Axial view; Brain; Slice 62 of 155; Image covers 240 mm x 240 mm
FLAIR magnetic resonance.
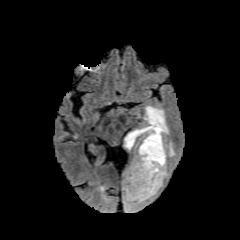
T1-weighted MR.
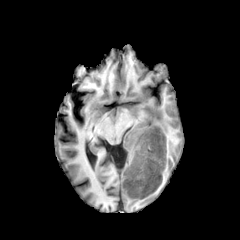
Post-contrast T1-weighted MR.
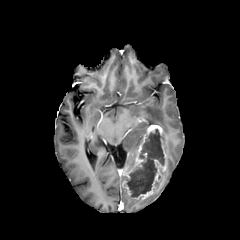
T2-weighted MR.
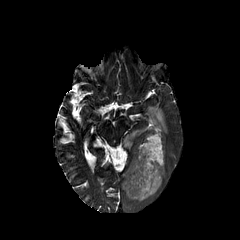
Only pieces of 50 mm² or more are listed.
necrotic tumor core: box=[126, 129, 164, 196] | peritumoral edema: box=[165, 143, 174, 156]; box=[123, 185, 161, 212]; box=[124, 106, 168, 150] | enhancing tumor: box=[122, 125, 166, 199]